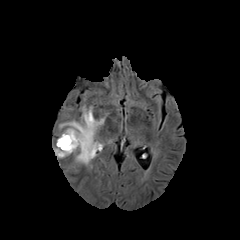
FLAIR MR.
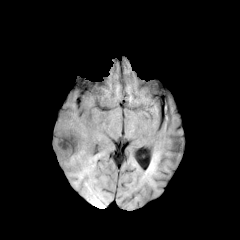
T1-weighted MR image.
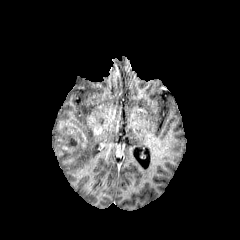
Same slice, post-contrast T1-weighted MR image.
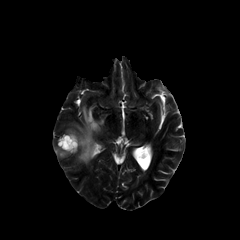
T2-weighted MR image of the same slice.
Head, Axial plane, 240x240 px
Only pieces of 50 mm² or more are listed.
{
  "necrotic_tumor_core": [
    "70, 136, 77, 146"
  ],
  "peritumoral_edema": [
    "59, 105, 103, 164",
    "54, 140, 71, 158",
    "95, 118, 104, 130"
  ],
  "enhancing_tumor": [
    "58, 129, 80, 152",
    "87, 115, 99, 133"
  ]
}